Image size 240x240. Head. Axial view.
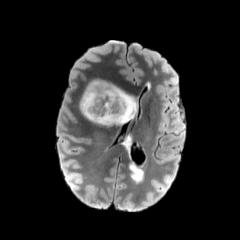
FLAIR MR image.
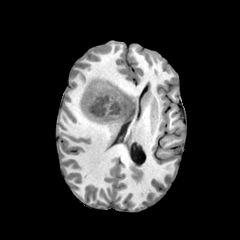
Same slice, T1-weighted magnetic resonance.
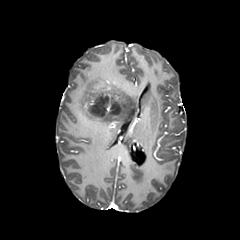
Post-contrast T1-weighted MR.
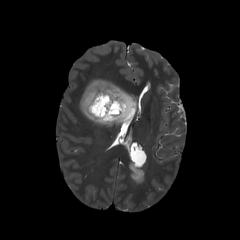
T2-weighted magnetic resonance.
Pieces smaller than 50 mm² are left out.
enhancing tumor: (87, 87, 123, 117)
peritumoral edema: (80, 79, 136, 126)
necrotic tumor core: (111, 102, 120, 114), (91, 97, 108, 116)